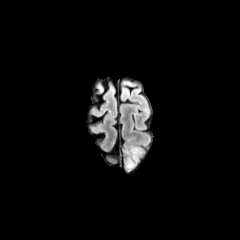
FLAIR MRI.
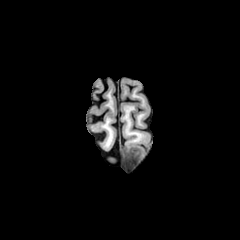
Same slice, T1-weighted magnetic resonance.
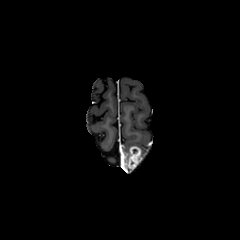
Same slice, post-contrast T1-weighted MR.
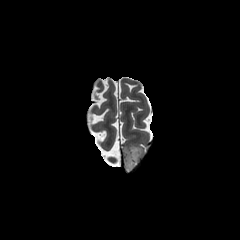
T2-weighted MR image of the same slice.
Image size 240x240, Axial view, Head
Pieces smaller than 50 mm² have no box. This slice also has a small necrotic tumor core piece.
enhancing_tumor:
  - (x1=124, y1=146, x2=141, y2=169)
peritumoral_edema:
  - (x1=124, y1=144, x2=144, y2=155)